240x240 px; Axial slice; Slice index 86
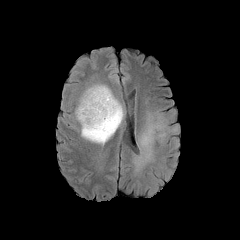
FLAIR MR.
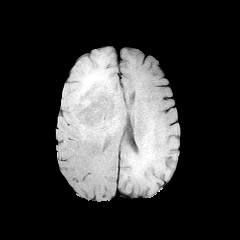
T1-weighted MR.
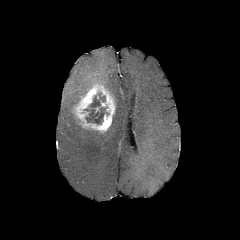
Same slice, post-contrast T1-weighted MR image.
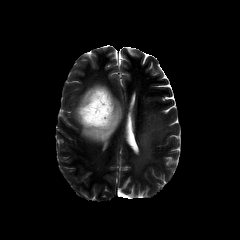
Same slice, T2-weighted magnetic resonance.
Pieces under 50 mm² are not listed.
The necrotic tumor core is at (84, 92, 108, 124). The 2 largest peritumoral edema regions are located at (133, 102, 179, 171), (73, 82, 123, 144). The largest enhancing tumor region is bounded by (74, 83, 115, 132).